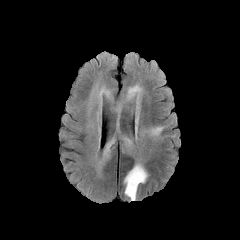
FLAIR MR image.
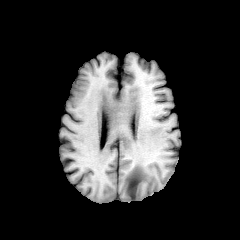
T1-weighted MR image.
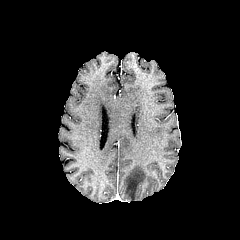
Post-contrast T1-weighted MR.
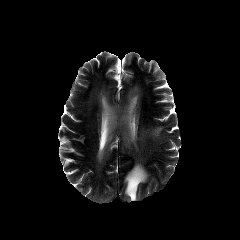
T2-weighted MRI.
Axial view, Brain
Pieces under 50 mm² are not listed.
Segmented structures:
• peritumoral edema: <box>126,84,141,124</box>, <box>149,126,163,136</box>, <box>124,163,148,200</box>, <box>104,139,114,153</box>, <box>98,89,109,96</box>